FLAIR MRI.
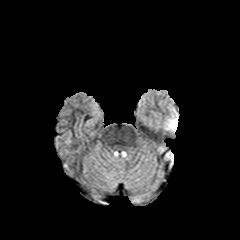
T1-weighted MR.
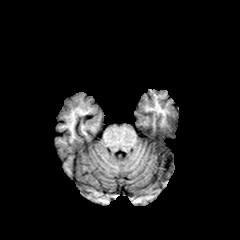
Post-contrast T1-weighted MRI.
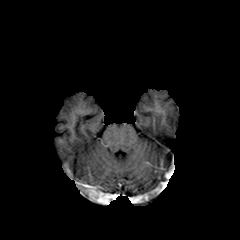
T2-weighted MR image.
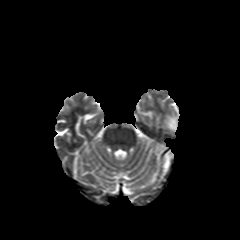
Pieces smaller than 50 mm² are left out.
{"peritumoral_edema": ["x1=166 y1=116 x2=177 y2=130"]}